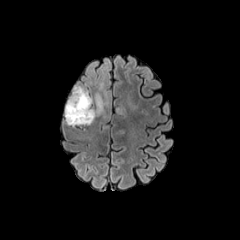
FLAIR MRI.
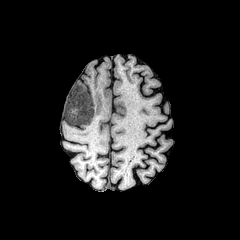
T1-weighted MR.
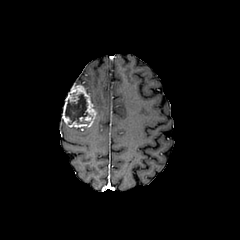
Same slice, post-contrast T1-weighted magnetic resonance.
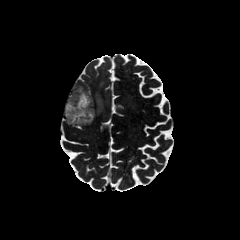
Same slice, T2-weighted MRI.
Brain
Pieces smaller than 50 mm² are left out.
necrotic tumor core: (x1=65, y1=94, x2=89, y2=124) | enhancing tumor: (x1=62, y1=85, x2=97, y2=127) | peritumoral edema: (x1=95, y1=63, x2=107, y2=115)